Image size 240x240; Slice 84 of 155; Image width 240 mm; Head
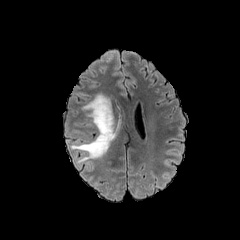
FLAIR MRI.
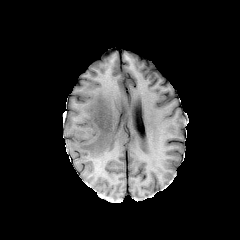
Same slice, T1-weighted magnetic resonance.
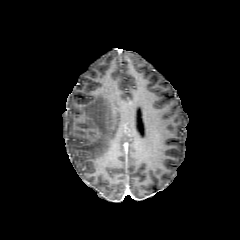
Same slice, post-contrast T1-weighted MRI.
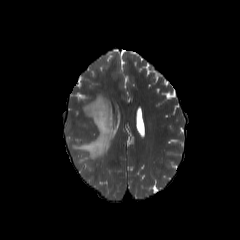
Same slice, T2-weighted MRI.
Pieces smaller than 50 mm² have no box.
<segmentation>
  <peritumoral_edema>box=[70, 93, 117, 163]</peritumoral_edema>
</segmentation>